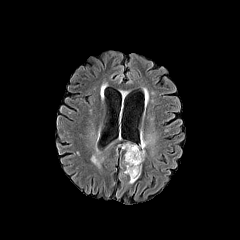
FLAIR MR.
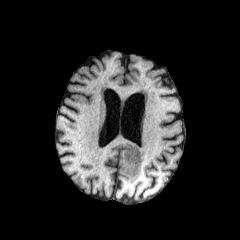
T1-weighted MR image.
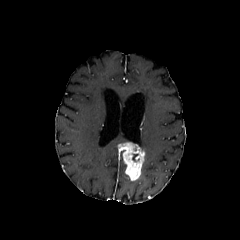
Same slice, post-contrast T1-weighted MR image.
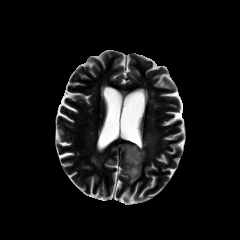
Same slice, T2-weighted magnetic resonance.
Axial slice.
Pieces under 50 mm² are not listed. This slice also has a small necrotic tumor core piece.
Findings:
• enhancing tumor: {"x1": 119, "y1": 142, "x2": 145, "y2": 180}
• peritumoral edema: {"x1": 140, "y1": 135, "x2": 154, "y2": 149}